Brain.
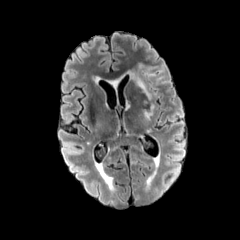
FLAIR MRI.
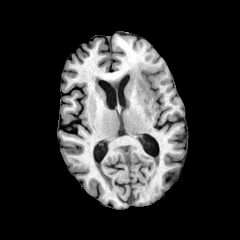
T1-weighted MR of the same slice.
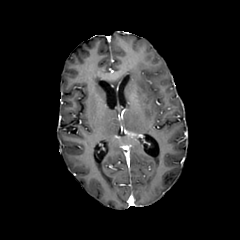
Post-contrast T1-weighted MR image of the same slice.
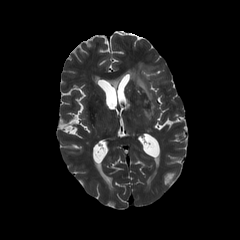
Same slice, T2-weighted MR image.
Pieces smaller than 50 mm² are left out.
The 2 largest peritumoral edema regions are bounded by {"x1": 127, "y1": 63, "x2": 157, "y2": 99}, {"x1": 144, "y1": 104, "x2": 154, "y2": 119}.